Slice index 106 | Head | Axial view | 240x240 px
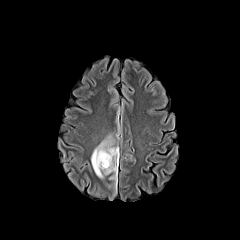
FLAIR MRI.
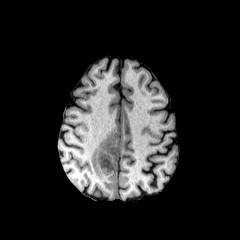
Same slice, T1-weighted magnetic resonance.
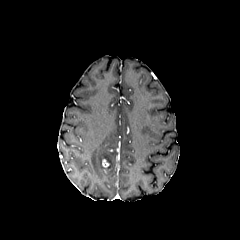
Post-contrast T1-weighted MR image of the same slice.
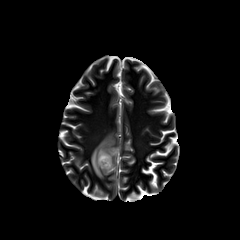
Same slice, T2-weighted magnetic resonance.
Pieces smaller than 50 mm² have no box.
The enhancing tumor appears at bbox=[102, 158, 109, 167]. The largest peritumoral edema region lies within bbox=[91, 134, 118, 182].